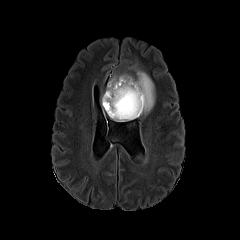
FLAIR MRI.
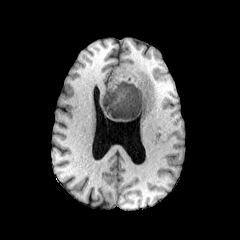
T1-weighted MRI.
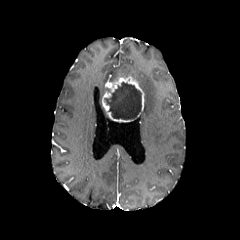
Same slice, post-contrast T1-weighted MR image.
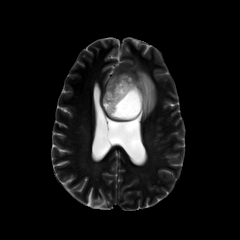
T2-weighted MR image of the same slice.
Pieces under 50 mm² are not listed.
peritumoral edema: bounding box rect(109, 73, 134, 81); rect(136, 70, 155, 115)
necrotic tumor core: bounding box rect(105, 82, 141, 119)
enhancing tumor: bounding box rect(102, 76, 144, 122)